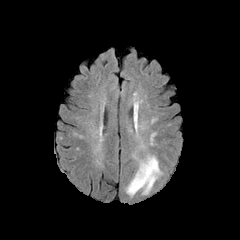
FLAIR magnetic resonance.
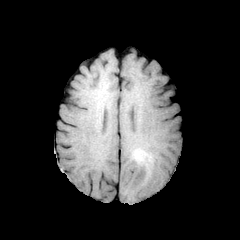
T1-weighted MRI.
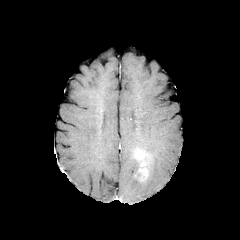
Post-contrast T1-weighted MRI.
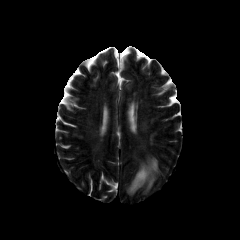
T2-weighted MR.
Brain
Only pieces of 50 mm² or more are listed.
peritumoral edema: 126:155:162:196
enhancing tumor: 136:163:148:181